Head; Axial view; Slice index 105
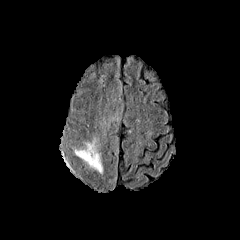
FLAIR MRI.
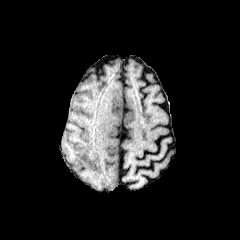
T1-weighted magnetic resonance of the same slice.
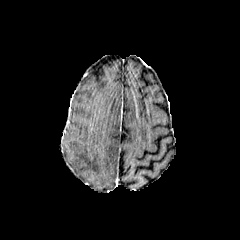
Post-contrast T1-weighted MRI.
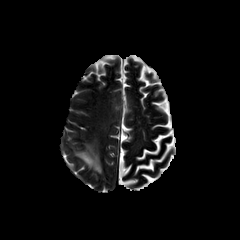
T2-weighted magnetic resonance.
peritumoral_edema:
  - bbox=[75, 141, 102, 173]